Brain
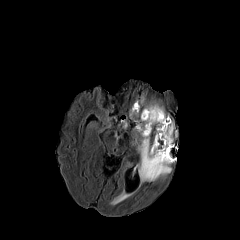
FLAIR MR image.
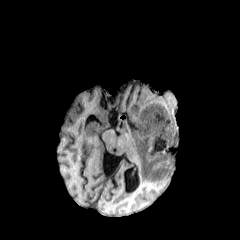
T1-weighted magnetic resonance.
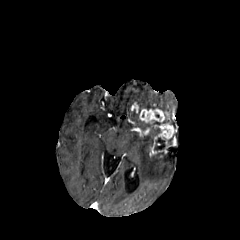
Post-contrast T1-weighted MRI.
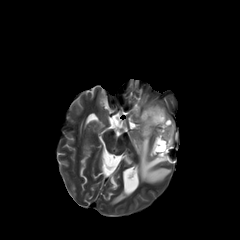
T2-weighted MR image.
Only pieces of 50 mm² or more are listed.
peritumoral_edema:
  - [133, 133, 173, 182]
  - [143, 104, 164, 111]
enhancing_tumor:
  - [136, 108, 176, 156]
  - [131, 103, 138, 113]
necrotic_tumor_core:
  - [154, 138, 165, 150]
  - [142, 121, 160, 134]